Axial plane | Head
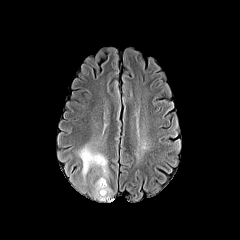
FLAIR MR image.
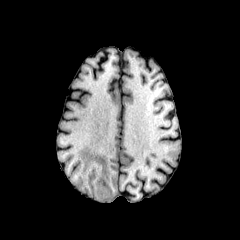
T1-weighted MR image.
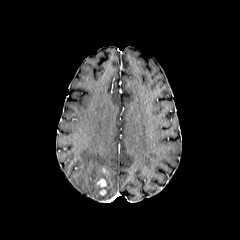
Post-contrast T1-weighted MR.
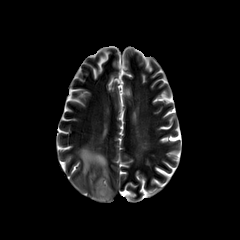
T2-weighted magnetic resonance.
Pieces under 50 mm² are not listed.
The peritumoral edema lies within 79, 146, 112, 200. The largest enhancing tumor region appears at 97, 179, 106, 187.